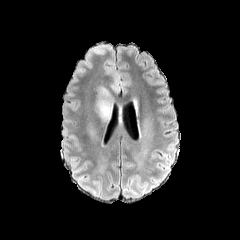
FLAIR MR.
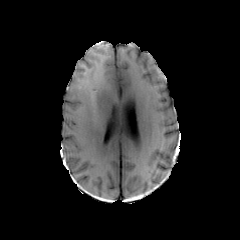
Same slice, T1-weighted MR.
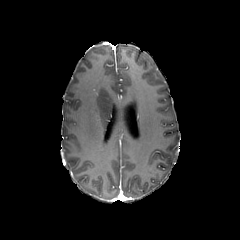
Post-contrast T1-weighted magnetic resonance.
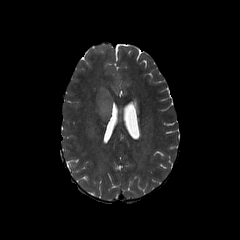
T2-weighted MRI.
Axial plane
peritumoral edema: 97,86,112,119